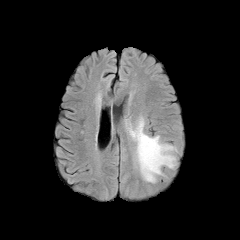
FLAIR magnetic resonance.
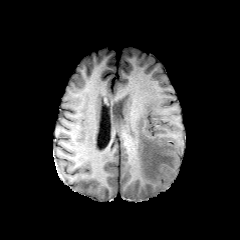
T1-weighted magnetic resonance.
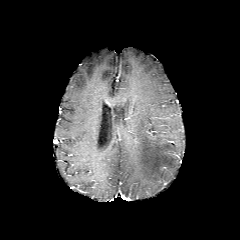
Post-contrast T1-weighted MRI.
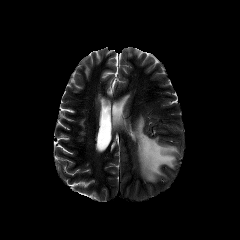
T2-weighted MRI.
The peritumoral edema lies within 128 117 177 182.